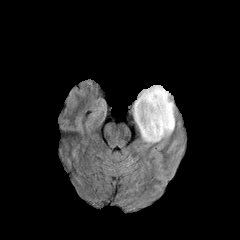
FLAIR MR image.
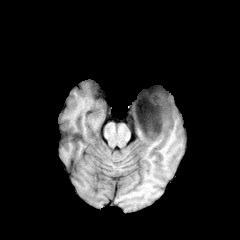
T1-weighted MRI.
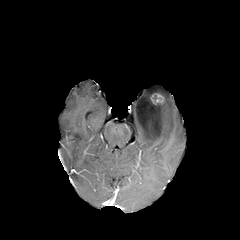
Post-contrast T1-weighted magnetic resonance of the same slice.
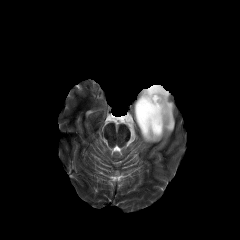
T2-weighted MR.
240x240, Axial view, Brain
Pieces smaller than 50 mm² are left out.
peritumoral_edema:
  - left=133, top=85, right=175, bottom=143
enhancing_tumor:
  - left=135, top=89, right=168, bottom=136
  - left=136, top=86, right=161, bottom=105
necrotic_tumor_core:
  - left=136, top=88, right=167, bottom=134